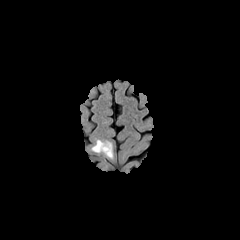
FLAIR magnetic resonance.
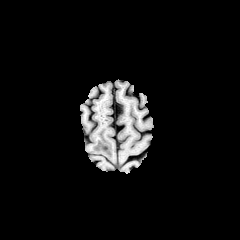
T1-weighted magnetic resonance.
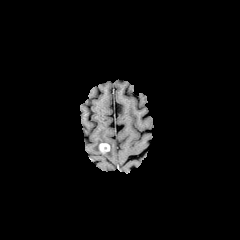
Same slice, post-contrast T1-weighted magnetic resonance.
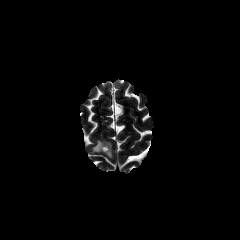
T2-weighted MR.
Head.
The peritumoral edema lies within x1=91, y1=139, x2=113, y2=158. The enhancing tumor is located at x1=99, y1=143, x2=109, y2=152.